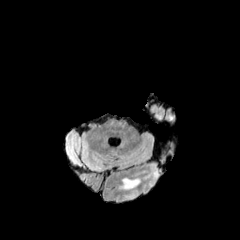
FLAIR MRI.
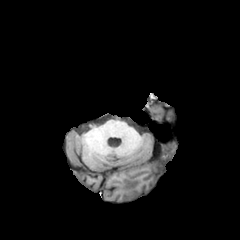
T1-weighted MR image.
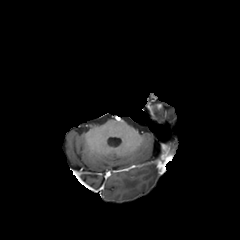
Post-contrast T1-weighted MRI.
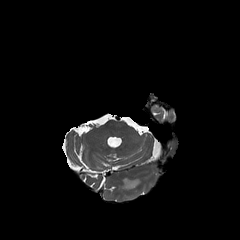
T2-weighted MR.
Axial slice. Brain. Image size 240x240.
<segmentation>
  <peritumoral_edema>region(120, 177, 140, 189)</peritumoral_edema>
</segmentation>